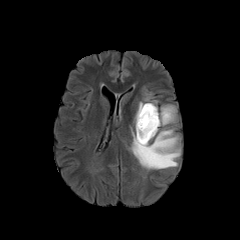
FLAIR MR.
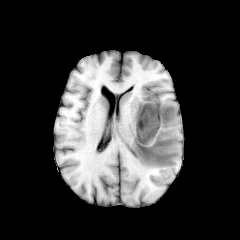
T1-weighted magnetic resonance.
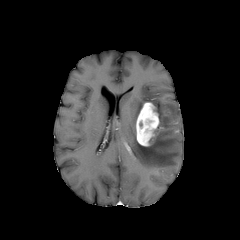
Post-contrast T1-weighted MR image of the same slice.
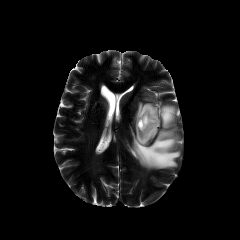
T2-weighted magnetic resonance of the same slice.
240x240. Axial plane.
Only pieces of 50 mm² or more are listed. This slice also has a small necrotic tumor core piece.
peritumoral edema: bounding box 130, 100, 180, 170
enhancing tumor: bounding box 136, 102, 159, 146